Axial view | 240x240 | Slice index 105
FLAIR magnetic resonance.
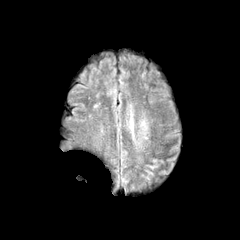
T1-weighted magnetic resonance.
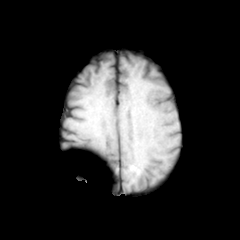
Post-contrast T1-weighted magnetic resonance.
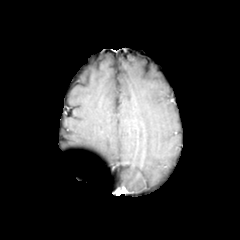
T2-weighted magnetic resonance.
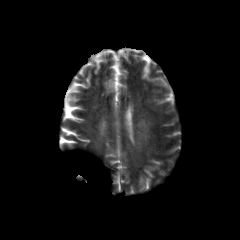
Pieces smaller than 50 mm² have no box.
The largest peritumoral edema region appears at left=128, top=116, right=133, bottom=138.